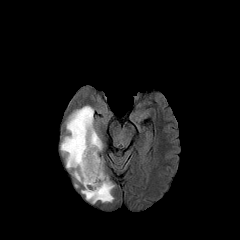
FLAIR MRI.
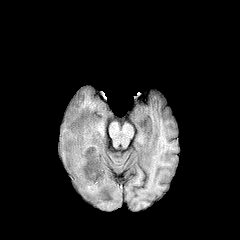
T1-weighted MRI.
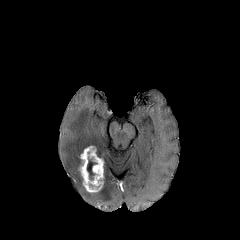
Post-contrast T1-weighted magnetic resonance of the same slice.
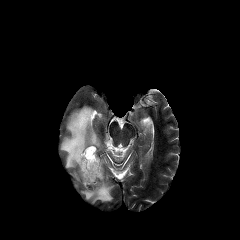
T2-weighted magnetic resonance.
Head
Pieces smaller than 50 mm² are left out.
<segmentation>
  <enhancing_tumor><bbox>79, 146, 104, 192</bbox></enhancing_tumor>
  <necrotic_tumor_core><bbox>87, 160, 96, 179</bbox></necrotic_tumor_core>
  <peritumoral_edema><bbox>60, 105, 103, 187</bbox>, <bbox>81, 168, 114, 203</bbox></peritumoral_edema>
</segmentation>